FLAIR MR.
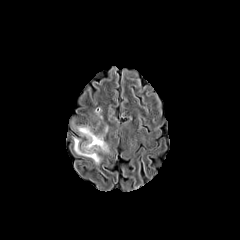
T1-weighted magnetic resonance.
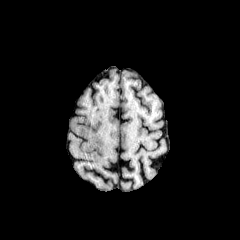
Post-contrast T1-weighted magnetic resonance.
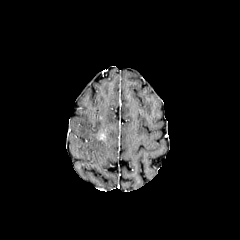
T2-weighted MRI.
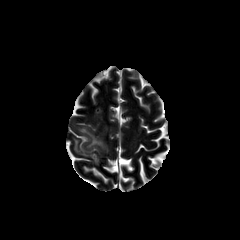
Brain, Axial plane
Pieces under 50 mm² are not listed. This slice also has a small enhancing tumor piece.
- peritumoral edema: left=73, top=126, right=108, bottom=164